Brain; Slice 74/155
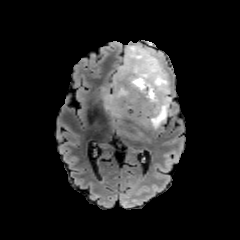
FLAIR MR.
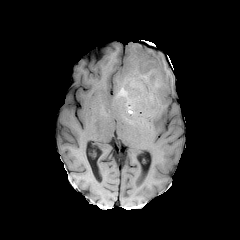
T1-weighted MR.
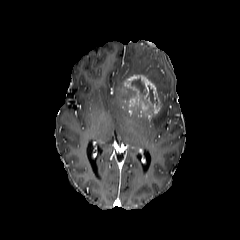
Post-contrast T1-weighted MR image.
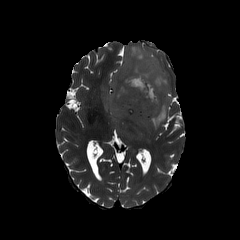
T2-weighted MR.
Findings:
• enhancing tumor: 121:75:160:118
• necrotic tumor core: 131:78:154:104, 125:89:136:99
• peritumoral edema: 102:43:173:141